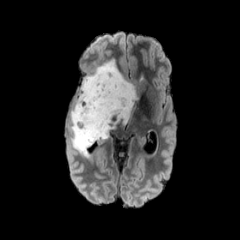
FLAIR MR image.
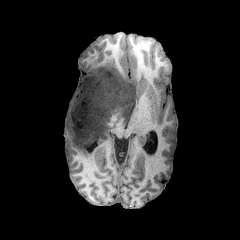
T1-weighted magnetic resonance.
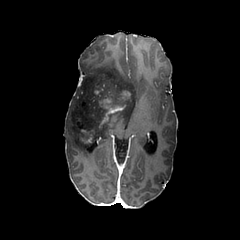
Post-contrast T1-weighted magnetic resonance.
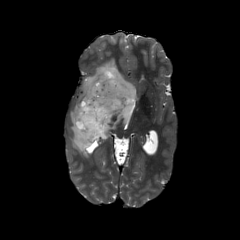
T2-weighted MRI of the same slice.
Head
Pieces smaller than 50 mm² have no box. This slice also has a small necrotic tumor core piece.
<segmentation>
  <enhancing_tumor>box=[121, 91, 130, 99]; box=[95, 83, 102, 93]; box=[74, 113, 92, 142]; box=[100, 98, 125, 124]</enhancing_tumor>
  <peritumoral_edema>box=[68, 59, 137, 157]</peritumoral_edema>
</segmentation>